Image width 240 mm, 1.00 mm slice spacing. Brain. Axial plane.
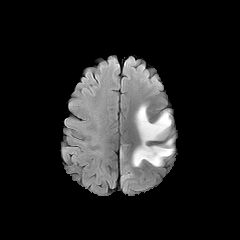
FLAIR MR.
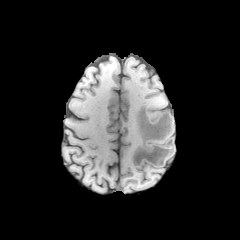
T1-weighted MR.
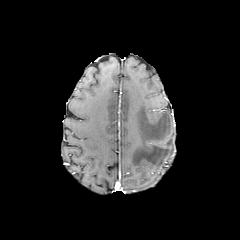
Same slice, post-contrast T1-weighted MR.
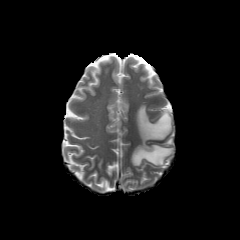
T2-weighted MRI of the same slice.
peritumoral_edema:
  - [x1=132, y1=105, x2=173, y2=166]